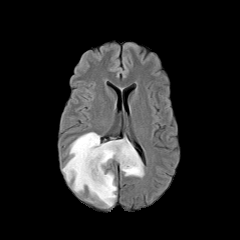
FLAIR MRI.
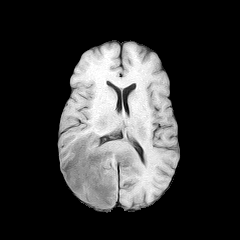
T1-weighted MR of the same slice.
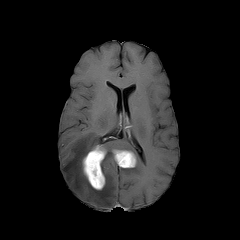
Post-contrast T1-weighted magnetic resonance.
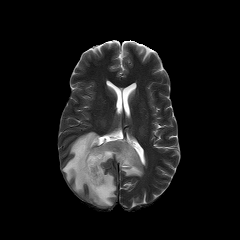
T2-weighted MRI.
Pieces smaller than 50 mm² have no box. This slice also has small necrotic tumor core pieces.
The peritumoral edema lies within [62, 132, 143, 207]. 2 enhancing tumor regions are located at [112, 149, 136, 167], [82, 145, 107, 190].